Axial plane
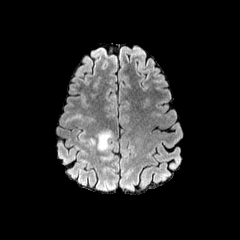
FLAIR magnetic resonance.
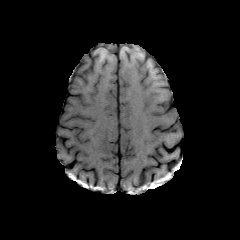
T1-weighted MRI of the same slice.
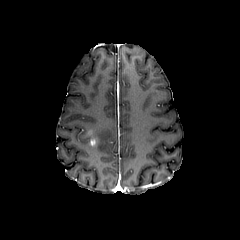
Post-contrast T1-weighted MR image of the same slice.
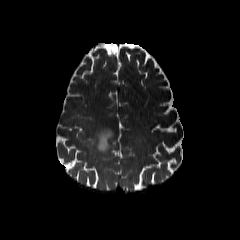
T2-weighted MR.
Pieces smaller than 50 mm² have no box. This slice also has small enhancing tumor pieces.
peritumoral edema: bounding box l=80, t=129, r=113, b=153; l=101, t=154, r=112, b=159